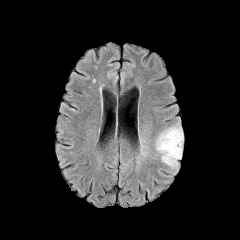
FLAIR MR.
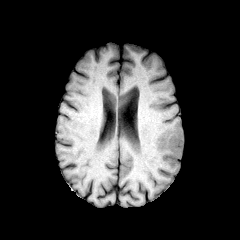
Same slice, T1-weighted MR.
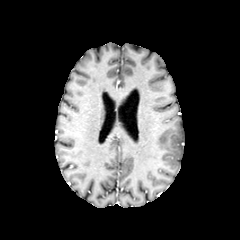
Post-contrast T1-weighted MR image.
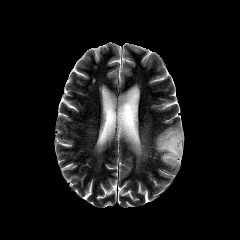
T2-weighted MR image of the same slice.
Axial slice
{"peritumoral_edema": ["bbox=[155, 121, 183, 167]"]}